Image width 240 mm | Axial plane
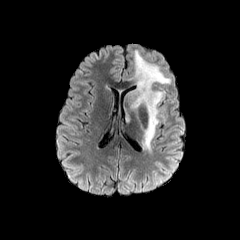
FLAIR MR image.
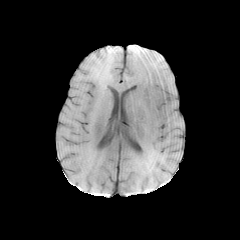
T1-weighted MRI.
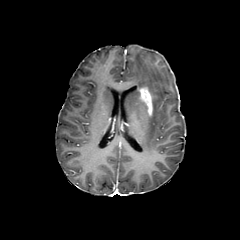
Post-contrast T1-weighted MRI.
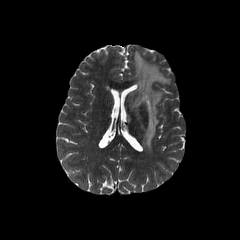
T2-weighted magnetic resonance.
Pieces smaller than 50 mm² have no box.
enhancing tumor at box=[138, 86, 157, 116]
peritumoral edema at box=[123, 50, 170, 152]